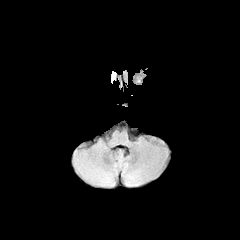
FLAIR MR.
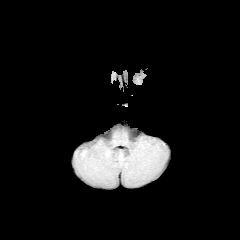
T1-weighted MR of the same slice.
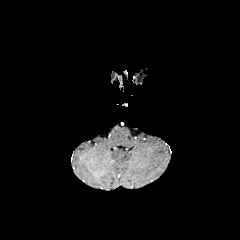
Post-contrast T1-weighted MR image.
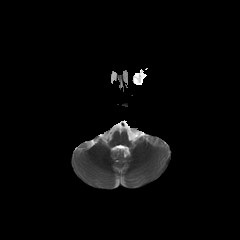
T2-weighted MR.
Axial plane, Head, 240x240 px
The peritumoral edema is bounded by bbox=[111, 71, 116, 83].